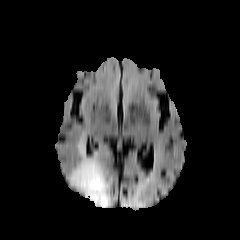
FLAIR MR.
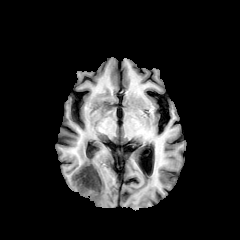
T1-weighted MRI of the same slice.
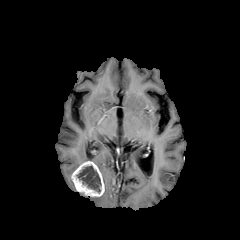
Post-contrast T1-weighted MRI.
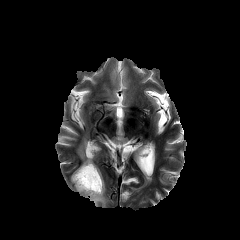
T2-weighted MR of the same slice.
Image size 240x240 | Axial slice
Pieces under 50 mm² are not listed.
The enhancing tumor is bounded by 71, 161, 104, 197. The largest peritumoral edema region lies within 72, 138, 111, 207. The necrotic tumor core is located at 77, 166, 101, 192.